240x240 px; Axial plane; Head; Slice 100/155; Image covers 240 mm x 240 mm
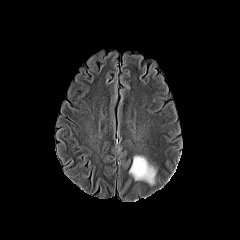
FLAIR MR.
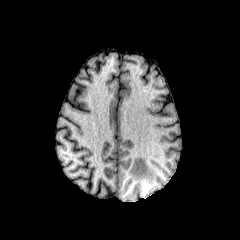
T1-weighted MRI of the same slice.
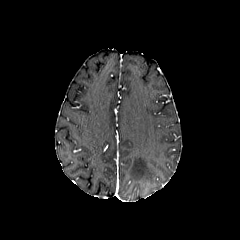
Post-contrast T1-weighted MRI.
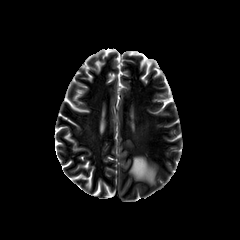
Same slice, T2-weighted MR image.
The peritumoral edema is located at bbox(129, 156, 155, 184).